FLAIR MRI.
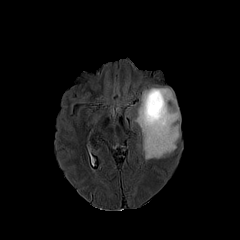
T1-weighted magnetic resonance.
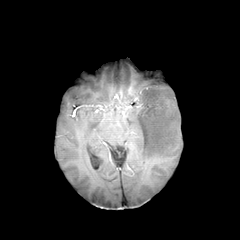
Post-contrast T1-weighted MR image.
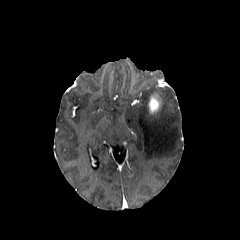
T2-weighted MR.
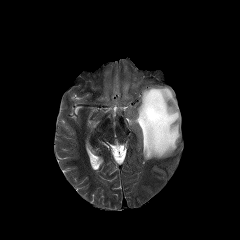
Head, Axial slice
The enhancing tumor appears at rect(149, 94, 160, 113). The peritumoral edema lies within rect(132, 87, 180, 160).